FLAIR MR.
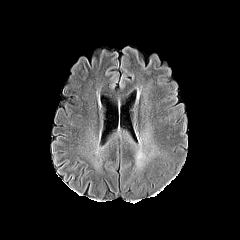
T1-weighted MR image.
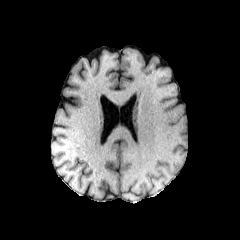
Post-contrast T1-weighted MR image.
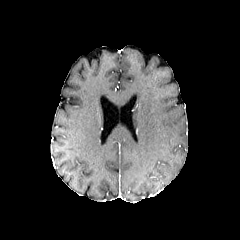
T2-weighted magnetic resonance.
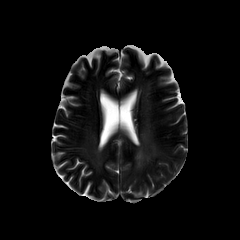
The peritumoral edema is located at region(136, 149, 147, 167).